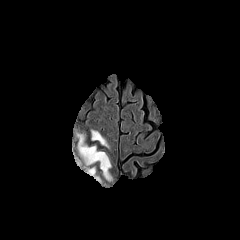
FLAIR MR image.
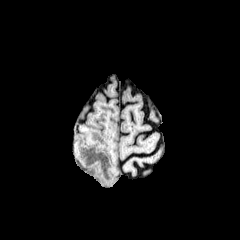
T1-weighted MRI.
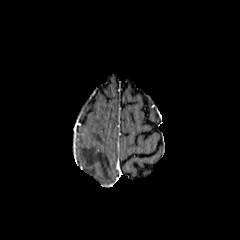
Same slice, post-contrast T1-weighted magnetic resonance.
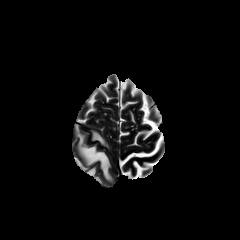
T2-weighted magnetic resonance.
Image size 240x240, Axial view
Findings:
* peritumoral edema: 77,134,111,180; 92,130,108,147; 87,167,101,182